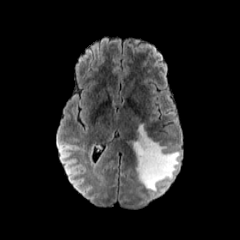
FLAIR MR.
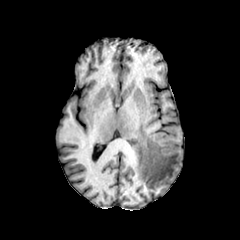
Same slice, T1-weighted MR image.
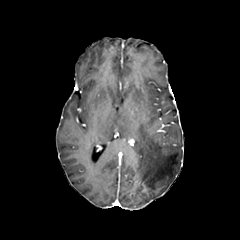
Same slice, post-contrast T1-weighted MRI.
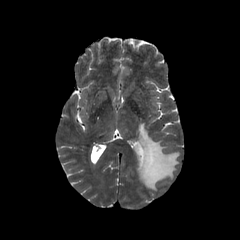
T2-weighted MRI.
Axial slice
<segmentation>
  <peritumoral_edema>(129,124,180,191)</peritumoral_edema>
</segmentation>